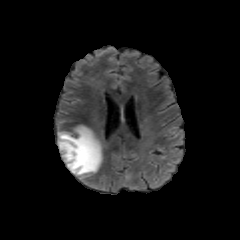
FLAIR MR image.
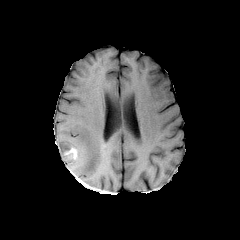
T1-weighted magnetic resonance.
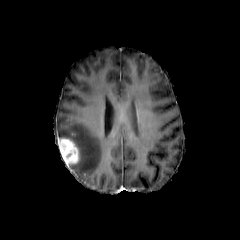
Same slice, post-contrast T1-weighted MR image.
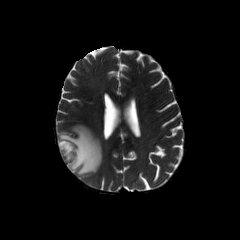
T2-weighted MRI of the same slice.
Brain
{
  "enhancing_tumor": [
    "(58, 138, 79, 167)"
  ],
  "peritumoral_edema": [
    "(58, 125, 102, 179)"
  ]
}